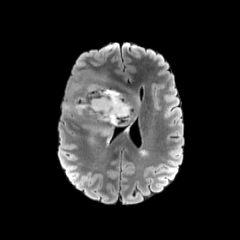
FLAIR magnetic resonance.
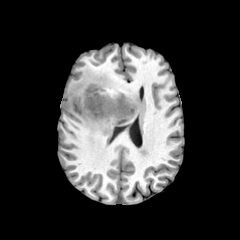
T1-weighted magnetic resonance of the same slice.
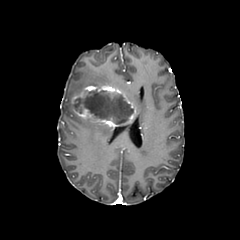
Post-contrast T1-weighted magnetic resonance of the same slice.
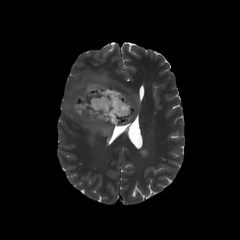
Same slice, T2-weighted magnetic resonance.
240x240. Head.
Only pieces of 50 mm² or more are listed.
necrotic_tumor_core:
  - <box>73,90,133,124</box>
peritumoral_edema:
  - <box>130,94,140,119</box>
  - <box>83,124,112,135</box>
enhancing_tumor:
  - <box>71,85,136,128</box>